FLAIR MR image.
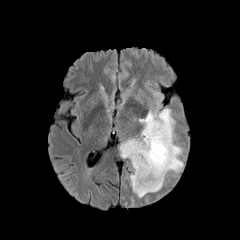
T1-weighted MRI.
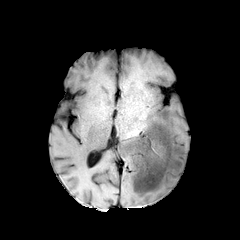
Post-contrast T1-weighted magnetic resonance.
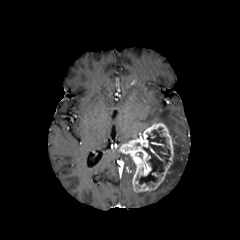
T2-weighted magnetic resonance.
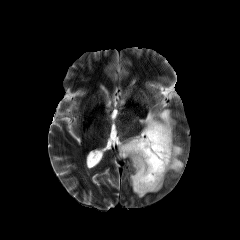
Axial plane, Head, 240x240 px
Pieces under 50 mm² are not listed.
The largest enhancing tumor region is bounded by [119, 121, 173, 192]. The 3 largest peritumoral edema regions are bounded by [120, 152, 135, 172], [139, 108, 183, 172], [134, 180, 164, 197]. The largest necrotic tumor core region appears at [137, 130, 170, 184].